Image size 240x240, Brain, Slice index 88, Image width 240 mm
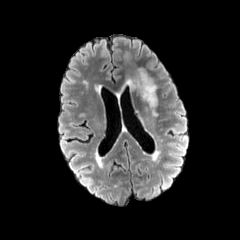
FLAIR MR image.
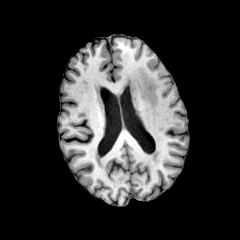
Same slice, T1-weighted MRI.
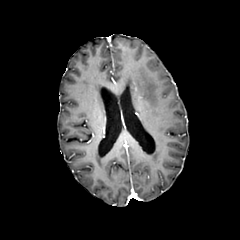
Same slice, post-contrast T1-weighted MR.
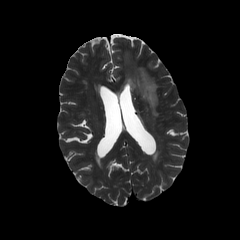
T2-weighted MR image of the same slice.
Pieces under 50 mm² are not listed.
Annotated regions:
* peritumoral edema: x1=127 y1=68 x2=157 y2=108